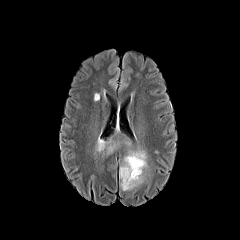
FLAIR MRI.
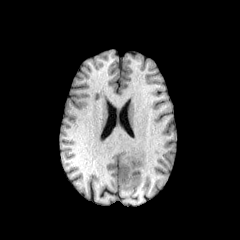
T1-weighted MR.
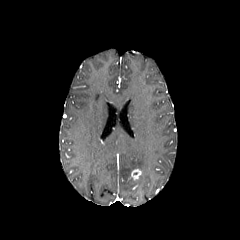
Same slice, post-contrast T1-weighted MRI.
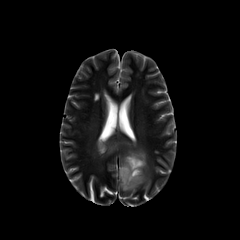
T2-weighted MR image.
Axial slice; Head
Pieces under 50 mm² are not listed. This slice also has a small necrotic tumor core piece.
peritumoral edema at 97,139,109,151; 119,150,147,190
enhancing tumor at 131,169,141,179